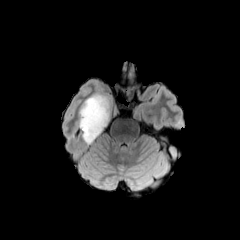
FLAIR magnetic resonance.
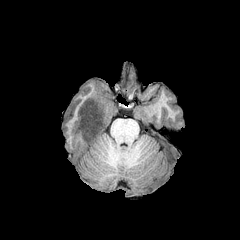
T1-weighted magnetic resonance of the same slice.
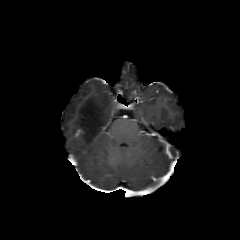
Post-contrast T1-weighted MR image.
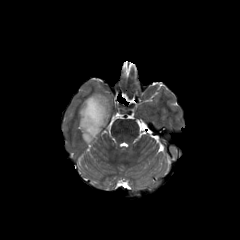
T2-weighted MRI.
Head | Image size 240x240 | Axial slice
<segmentation>
  <peritumoral_edema>left=79, top=93, right=116, bottom=144</peritumoral_edema>
</segmentation>